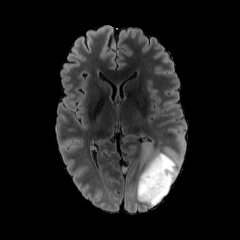
FLAIR MR.
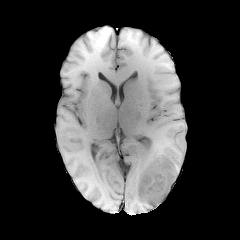
T1-weighted MR image.
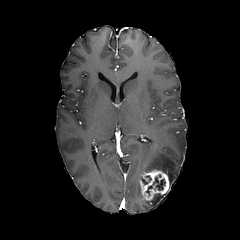
Post-contrast T1-weighted MRI.
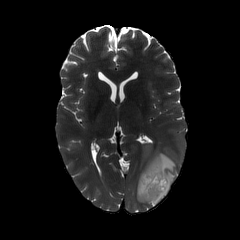
Same slice, T2-weighted MRI.
Brain
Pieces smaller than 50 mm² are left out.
enhancing tumor — bbox(139, 169, 169, 201)
peritumoral edema — bbox(137, 141, 179, 206)
necrotic tumor core — bbox(156, 179, 165, 190)